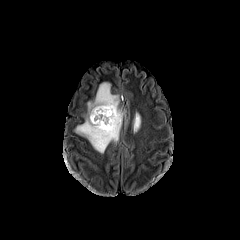
FLAIR MR.
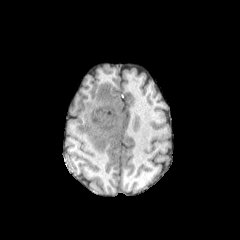
T1-weighted MR image.
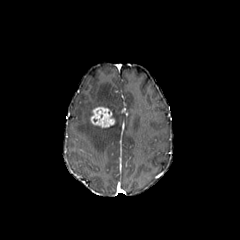
Post-contrast T1-weighted MR of the same slice.
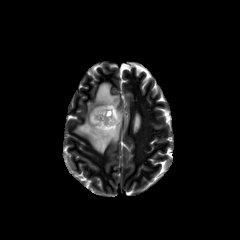
T2-weighted MR image.
240x240 px
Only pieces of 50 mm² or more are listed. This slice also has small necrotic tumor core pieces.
enhancing tumor: bbox=[90, 106, 115, 127]
peritumoral edema: bbox=[133, 112, 140, 133]; bbox=[75, 82, 123, 153]